Axial plane. Slice index 118.
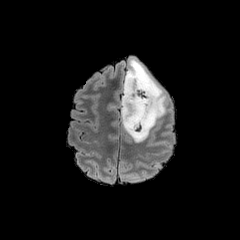
FLAIR MRI.
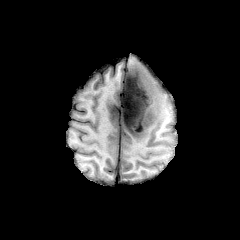
Same slice, T1-weighted MRI.
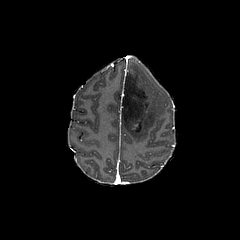
Post-contrast T1-weighted magnetic resonance of the same slice.
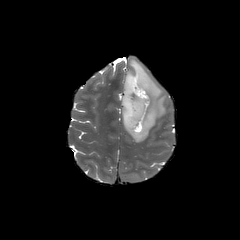
T2-weighted magnetic resonance of the same slice.
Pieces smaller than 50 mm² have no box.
necrotic tumor core — 120,69,149,135
peritumoral edema — 128,59,165,142